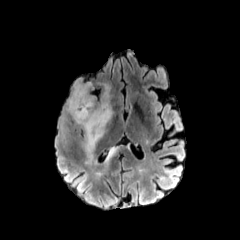
FLAIR MR image.
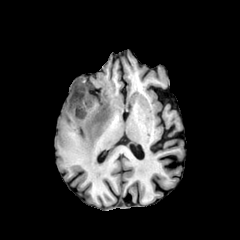
T1-weighted magnetic resonance.
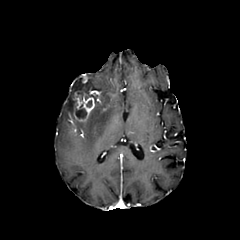
Post-contrast T1-weighted MRI.
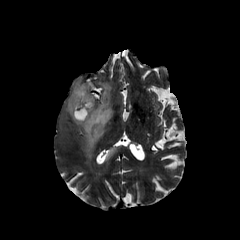
T2-weighted MR.
Axial view.
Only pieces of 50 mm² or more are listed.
<segmentation>
  <peritumoral_edema><box>65,78,113,157</box>, <box>106,148,115,159</box></peritumoral_edema>
  <enhancing_tumor><box>73,91,95,122</box></enhancing_tumor>
  <necrotic_tumor_core><box>75,104,86,118</box></necrotic_tumor_core>
</segmentation>